Image width 240 mm | Axial view
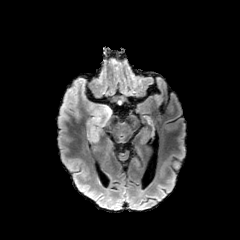
FLAIR MR image.
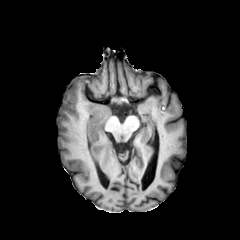
T1-weighted MR.
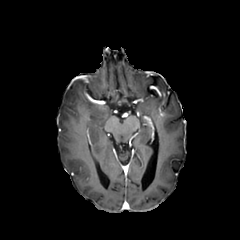
Post-contrast T1-weighted magnetic resonance.
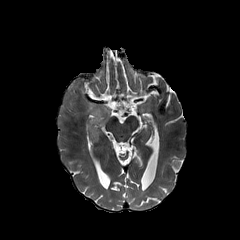
T2-weighted MR image.
2 peritumoral edema regions are located at [60,78,85,121], [86,100,112,144].